FLAIR MRI.
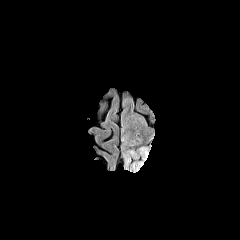
T1-weighted magnetic resonance.
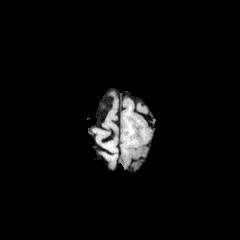
Post-contrast T1-weighted MR image.
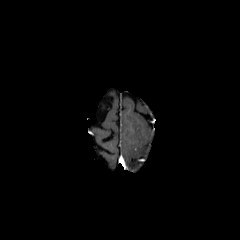
T2-weighted magnetic resonance.
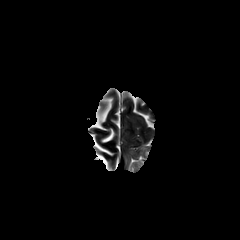
Axial plane. 240x240. Brain.
peritumoral edema: [123,145,151,170]